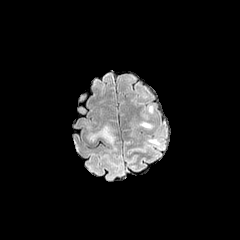
FLAIR MR image.
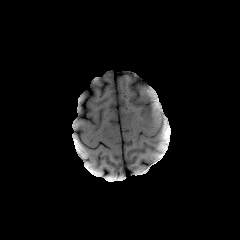
T1-weighted magnetic resonance of the same slice.
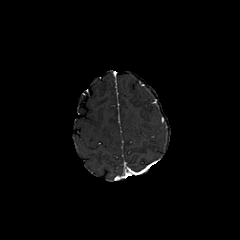
Post-contrast T1-weighted MR.
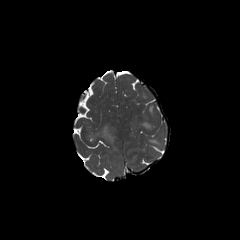
T2-weighted MRI.
Axial plane, 240x240, Head
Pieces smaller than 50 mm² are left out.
Segmented structures:
- peritumoral edema: (148,139,160,145), (90,126,114,143), (140,121,152,128)